Brain; Axial slice
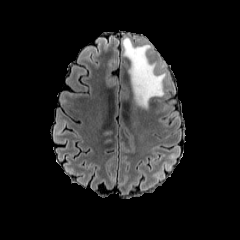
FLAIR MRI.
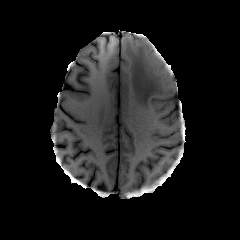
Same slice, T1-weighted MRI.
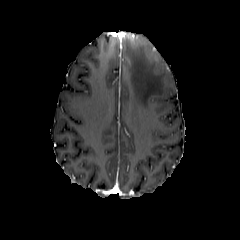
Post-contrast T1-weighted MR of the same slice.
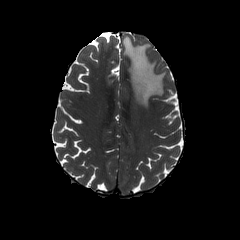
Same slice, T2-weighted MRI.
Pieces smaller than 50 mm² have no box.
peritumoral edema — <box>122,34,165,108</box>